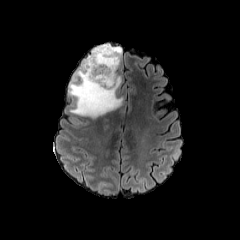
FLAIR magnetic resonance.
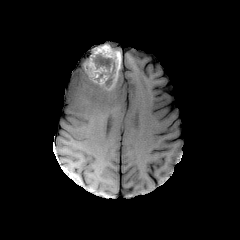
T1-weighted magnetic resonance.
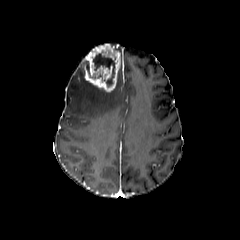
Same slice, post-contrast T1-weighted MRI.
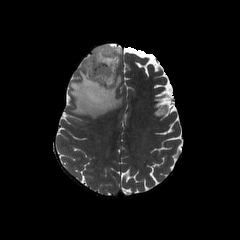
T2-weighted MR image.
240x240 | Head | Axial plane
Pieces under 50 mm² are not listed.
The largest peritumoral edema region is located at 69:63:123:118. The largest necrotic tumor core region lies within 93:51:114:86. The enhancing tumor is bounded by 82:43:120:92.